Slice 60/155.
FLAIR magnetic resonance.
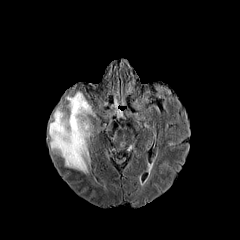
T1-weighted MR.
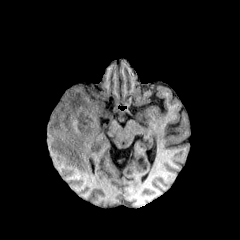
Post-contrast T1-weighted MR image.
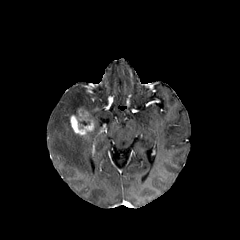
T2-weighted MR image.
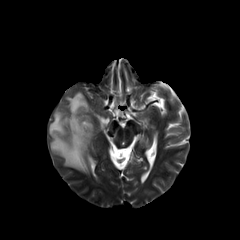
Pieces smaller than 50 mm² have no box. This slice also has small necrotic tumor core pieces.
peritumoral_edema:
  - <box>49,107,92,173</box>
  - <box>66,91,94,116</box>
enhancing_tumor:
  - <box>70,108,93,136</box>